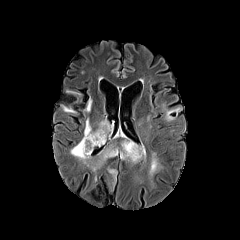
FLAIR magnetic resonance.
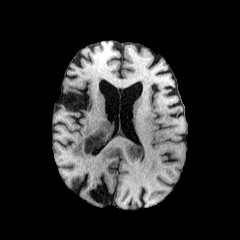
T1-weighted magnetic resonance.
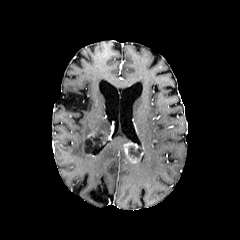
Same slice, post-contrast T1-weighted MR image.
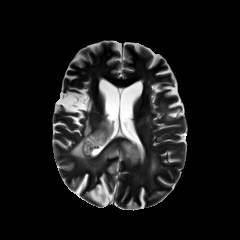
Same slice, T2-weighted MR image.
Image size 240x240
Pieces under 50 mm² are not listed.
- necrotic tumor core: box=[128, 145, 143, 158]; box=[84, 134, 102, 153]
- enhancing tumor: box=[124, 142, 143, 163]
- peritumoral edema: box=[120, 140, 130, 162]; box=[71, 119, 91, 162]; box=[95, 120, 109, 144]; box=[149, 153, 159, 175]; box=[107, 166, 117, 192]; box=[61, 105, 78, 114]; box=[93, 146, 117, 170]; box=[83, 93, 93, 112]